Image covers 240 mm x 240 mm, Head
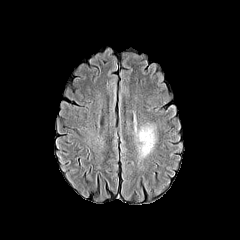
FLAIR magnetic resonance.
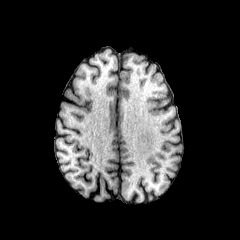
T1-weighted MRI.
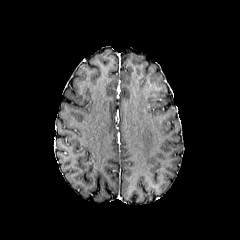
Same slice, post-contrast T1-weighted MR image.
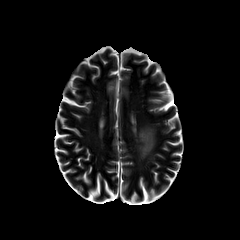
T2-weighted MRI of the same slice.
Annotated regions:
• peritumoral edema: region(139, 127, 154, 156)